FLAIR MR image.
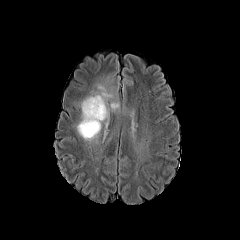
T1-weighted MR image.
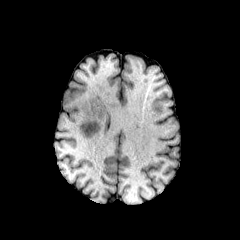
Post-contrast T1-weighted MR image.
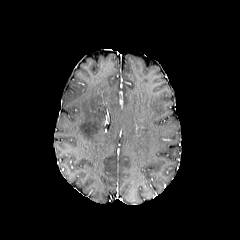
T2-weighted magnetic resonance.
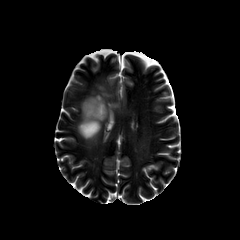
Axial slice | Head
The peritumoral edema is bounded by box(77, 73, 118, 141).